Axial plane. Brain. Slice index 74.
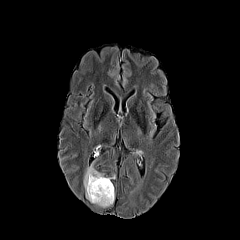
FLAIR MR image.
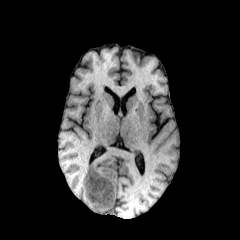
T1-weighted MR.
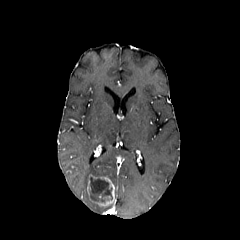
Post-contrast T1-weighted MR.
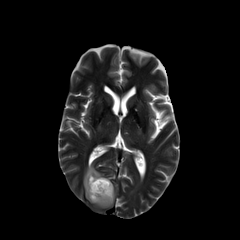
T2-weighted MRI.
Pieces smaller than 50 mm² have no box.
The largest enhancing tumor region appears at rect(87, 174, 114, 207). The necrotic tumor core is bounded by rect(90, 177, 112, 202). The largest peritumoral edema region is located at rect(83, 164, 104, 200).